240x240.
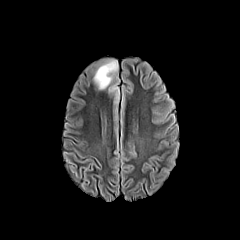
FLAIR MR.
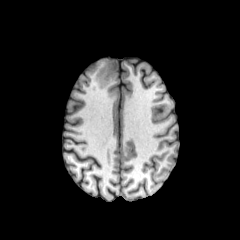
T1-weighted magnetic resonance of the same slice.
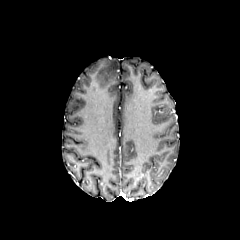
Post-contrast T1-weighted MRI of the same slice.
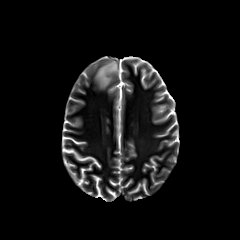
Same slice, T2-weighted magnetic resonance.
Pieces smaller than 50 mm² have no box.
{
  "peritumoral_edema": [
    "(94,60,118,89)"
  ]
}